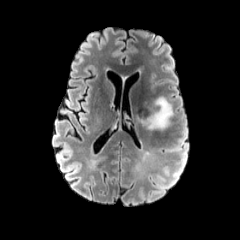
FLAIR MRI.
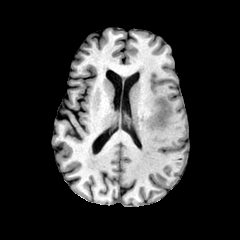
T1-weighted MR image of the same slice.
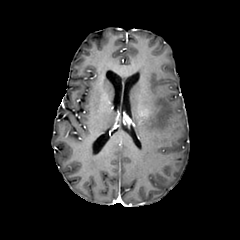
Post-contrast T1-weighted MR image.
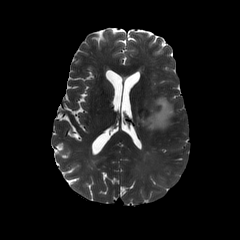
T2-weighted MR.
Image size 240x240, Axial view
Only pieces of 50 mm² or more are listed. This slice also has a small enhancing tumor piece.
The peritumoral edema is bounded by x1=135, y1=96, x2=173, y2=130.